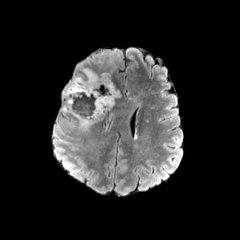
FLAIR MR.
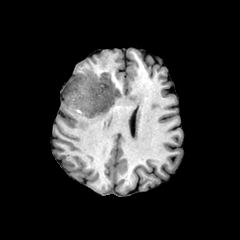
T1-weighted magnetic resonance.
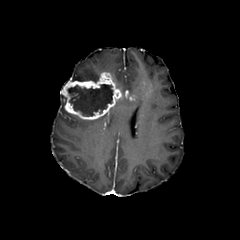
Post-contrast T1-weighted magnetic resonance of the same slice.
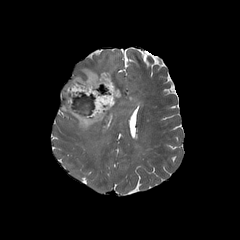
T2-weighted MR image.
Axial plane | Head | Image size 240x240
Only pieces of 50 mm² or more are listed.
necrotic tumor core: box=[67, 84, 112, 116] | enhancing tumor: box=[61, 72, 122, 120] | peritumoral edema: box=[72, 64, 99, 80]; box=[129, 95, 142, 106]; box=[61, 101, 104, 131]